FLAIR MR image.
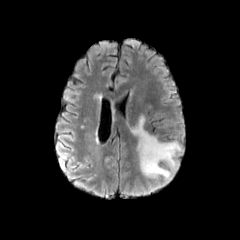
T1-weighted MR image.
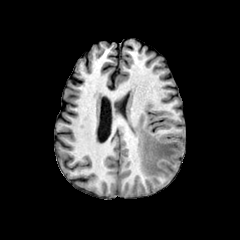
Post-contrast T1-weighted MR image.
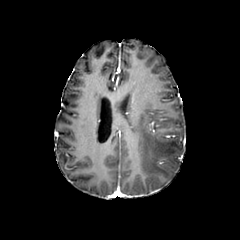
T2-weighted magnetic resonance.
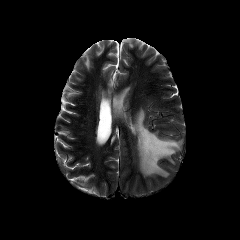
Brain | Axial slice
The peritumoral edema is bounded by left=133, top=115, right=181, bottom=177.